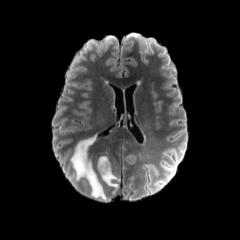
FLAIR MR.
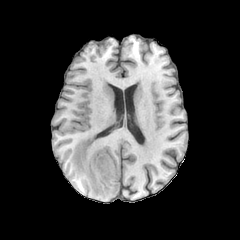
Same slice, T1-weighted MR image.
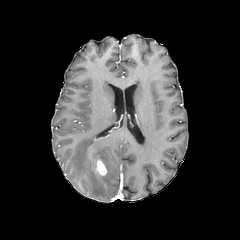
Same slice, post-contrast T1-weighted MR.
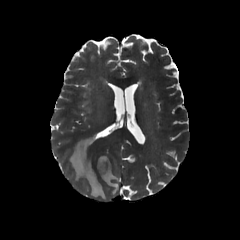
T2-weighted magnetic resonance.
enhancing tumor: 96, 159, 106, 175
peritumoral edema: 70, 137, 106, 199; 98, 156, 117, 187